FLAIR MR.
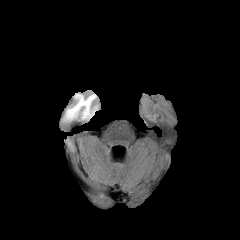
T1-weighted MR.
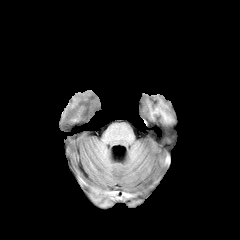
Post-contrast T1-weighted magnetic resonance.
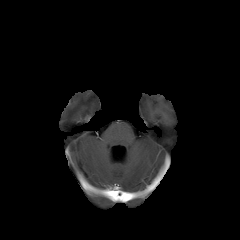
T2-weighted magnetic resonance.
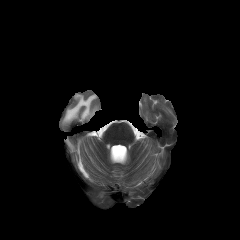
Head | Axial slice
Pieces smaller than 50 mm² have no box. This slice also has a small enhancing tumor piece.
The largest peritumoral edema region lies within [x1=63, y1=93, x2=98, y2=122].